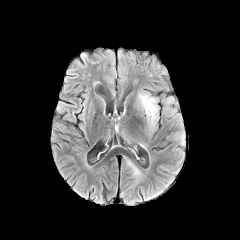
FLAIR MR.
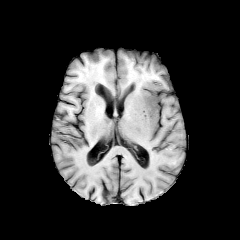
T1-weighted MR.
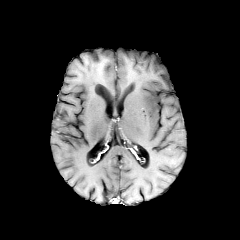
Same slice, post-contrast T1-weighted MR.
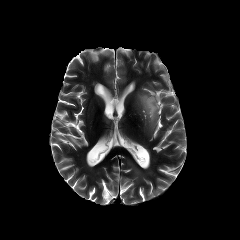
T2-weighted MRI.
240x240 px. Axial plane.
<segmentation>
  <peritumoral_edema>{"x1": 135, "y1": 92, "x2": 160, "y2": 135}</peritumoral_edema>
</segmentation>